240x240 px, Slice 33/155, Axial plane
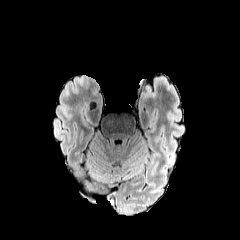
FLAIR MRI.
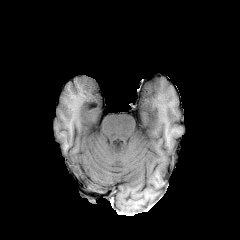
Same slice, T1-weighted MR image.
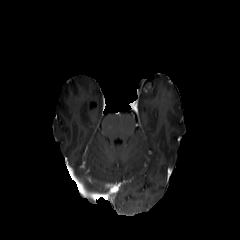
Post-contrast T1-weighted magnetic resonance of the same slice.
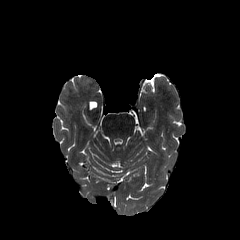
T2-weighted MR image of the same slice.
enhancing tumor: [144,82,152,91]